Image width 240 mm, 1.00 mm slice spacing, Brain
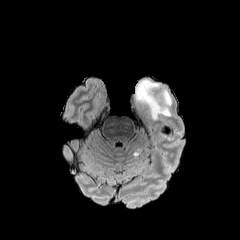
FLAIR magnetic resonance.
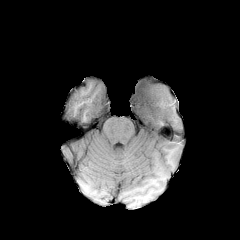
T1-weighted MR of the same slice.
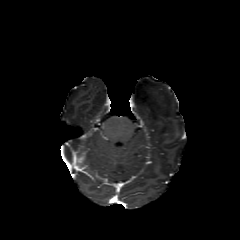
Post-contrast T1-weighted MR.
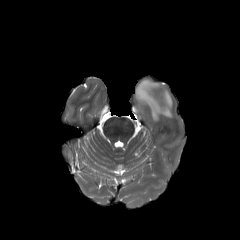
T2-weighted magnetic resonance of the same slice.
<segmentation>
  <peritumoral_edema>box(133, 79, 172, 121)</peritumoral_edema>
</segmentation>